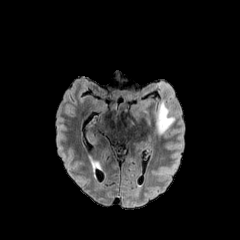
FLAIR magnetic resonance.
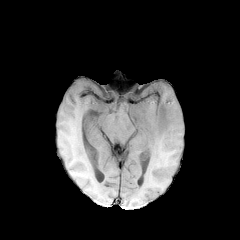
T1-weighted magnetic resonance.
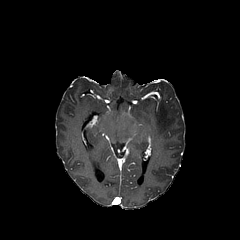
Post-contrast T1-weighted magnetic resonance of the same slice.
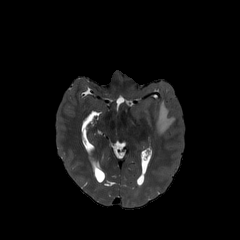
T2-weighted MRI of the same slice.
Head
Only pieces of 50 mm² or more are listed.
<segmentation>
  <peritumoral_edema>region(156, 100, 175, 135)</peritumoral_edema>
</segmentation>